240x240
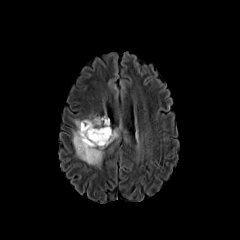
FLAIR MR image.
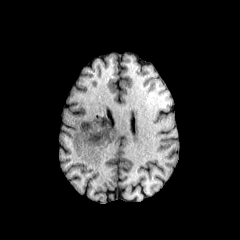
T1-weighted magnetic resonance of the same slice.
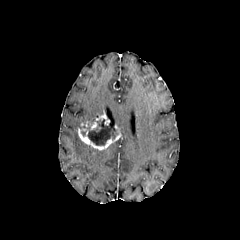
Post-contrast T1-weighted magnetic resonance.
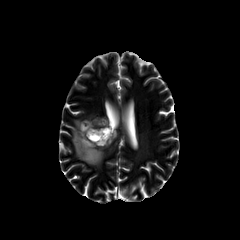
Same slice, T2-weighted MR.
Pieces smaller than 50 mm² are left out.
<segmentation>
  <peritumoral_edema>region(72, 115, 104, 166)</peritumoral_edema>
  <enhancing_tumor>region(78, 114, 119, 150)</enhancing_tumor>
  <necrotic_tumor_core>region(87, 119, 117, 145)</necrotic_tumor_core>
</segmentation>